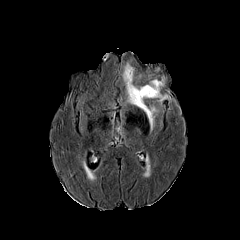
FLAIR MR.
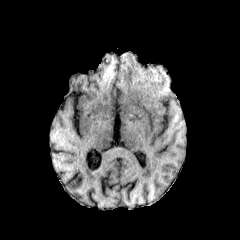
T1-weighted MRI.
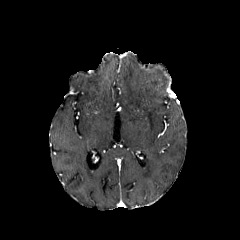
Post-contrast T1-weighted magnetic resonance of the same slice.
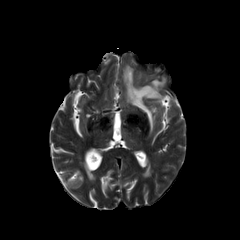
T2-weighted MRI of the same slice.
Axial plane
Annotated regions:
* peritumoral edema: (left=123, top=64, right=167, bottom=130)